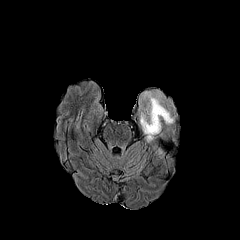
FLAIR magnetic resonance.
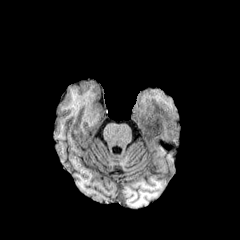
Same slice, T1-weighted magnetic resonance.
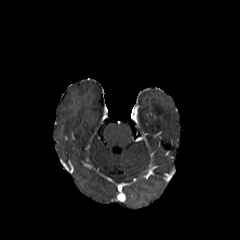
Post-contrast T1-weighted MR of the same slice.
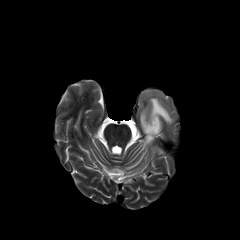
T2-weighted magnetic resonance.
Axial view
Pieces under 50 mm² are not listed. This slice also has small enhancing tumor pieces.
peritumoral edema — left=139, top=90, right=175, bottom=134